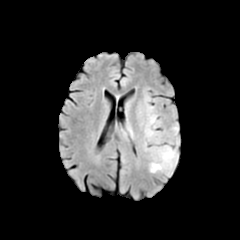
FLAIR MRI.
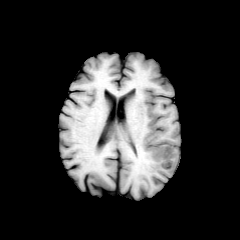
Same slice, T1-weighted MR image.
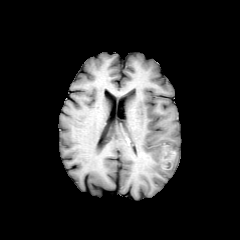
Same slice, post-contrast T1-weighted magnetic resonance.
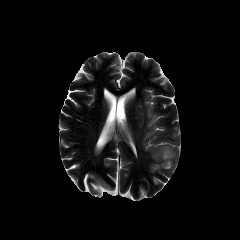
T2-weighted MRI.
Head
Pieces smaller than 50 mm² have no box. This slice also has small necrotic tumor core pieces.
The enhancing tumor is at bbox=[161, 146, 175, 169]. The 2 largest peritumoral edema regions are located at bbox=[149, 144, 178, 175]; bbox=[145, 104, 157, 138].